FLAIR MRI.
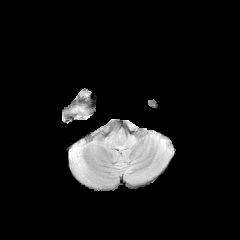
T1-weighted MRI.
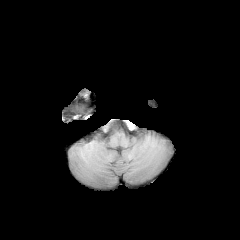
Post-contrast T1-weighted MR.
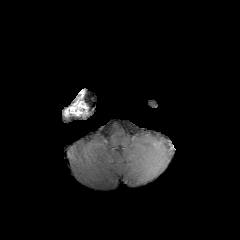
T2-weighted magnetic resonance.
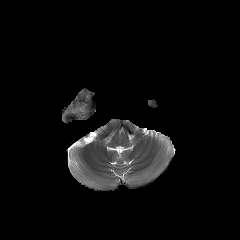
Brain.
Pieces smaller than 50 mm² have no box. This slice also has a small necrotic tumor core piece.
The largest enhancing tumor region appears at l=64, t=101, r=86, b=115.